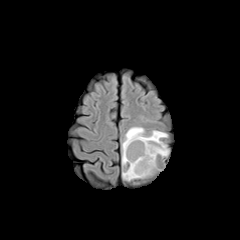
FLAIR MR.
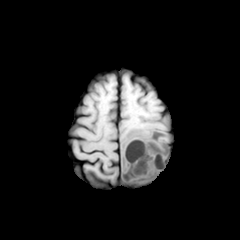
T1-weighted magnetic resonance.
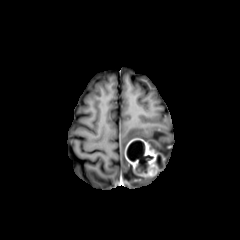
Same slice, post-contrast T1-weighted MR.
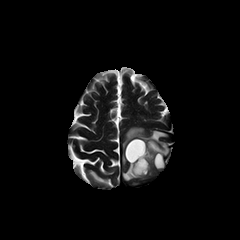
Same slice, T2-weighted MR.
Head | Axial view
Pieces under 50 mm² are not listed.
necrotic tumor core: bounding box l=126, t=140, r=153, b=166
peritumoral edema: bounding box l=122, t=127, r=169, b=181
enhancing tumor: bounding box l=125, t=138, r=166, b=176